FLAIR MR image.
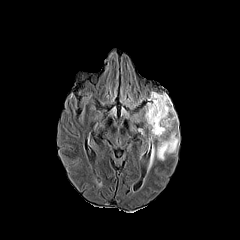
T1-weighted MR image.
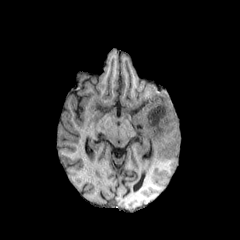
Post-contrast T1-weighted magnetic resonance.
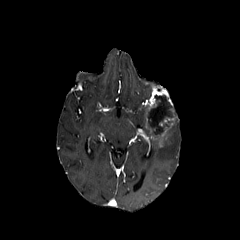
T2-weighted MR image.
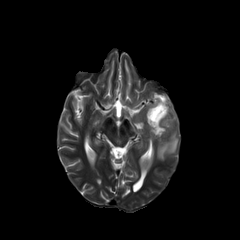
Head; 240x240
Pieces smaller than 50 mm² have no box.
peritumoral edema at {"x1": 156, "y1": 126, "x2": 179, "y2": 160}
enhancing tumor at {"x1": 145, "y1": 89, "x2": 177, "y2": 147}
necrotic tumor core at {"x1": 147, "y1": 95, "x2": 172, "y2": 134}